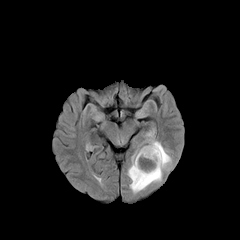
FLAIR MR image.
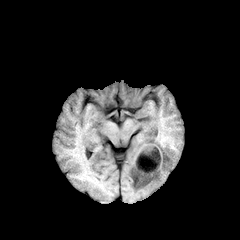
Same slice, T1-weighted MRI.
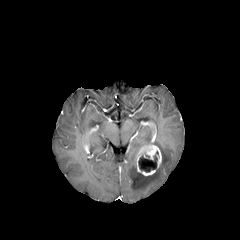
Post-contrast T1-weighted MRI.
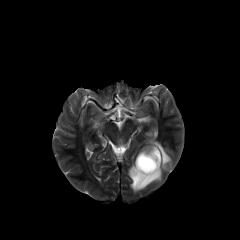
Same slice, T2-weighted magnetic resonance.
Axial slice
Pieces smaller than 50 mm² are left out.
enhancing tumor — (left=136, top=144, right=161, bottom=175)
peritumoral edema — (left=127, top=131, right=172, bottom=193)
necrotic tumor core — (left=138, top=155, right=157, bottom=172)